FLAIR MR.
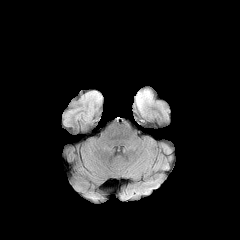
T1-weighted MR image.
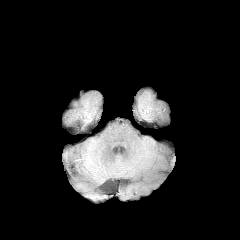
Post-contrast T1-weighted magnetic resonance.
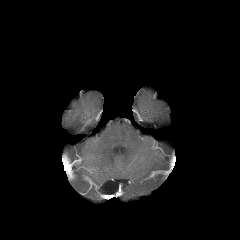
T2-weighted MRI.
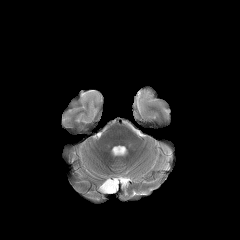
Image size 240x240
peritumoral edema — (left=136, top=90, right=153, bottom=113)